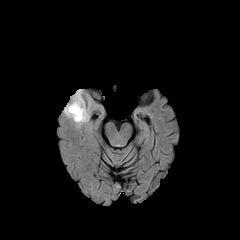
FLAIR magnetic resonance.
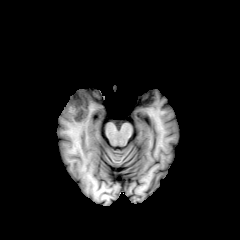
T1-weighted magnetic resonance of the same slice.
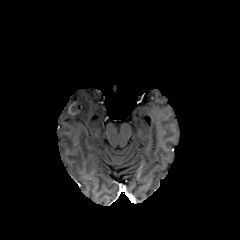
Post-contrast T1-weighted MR image.
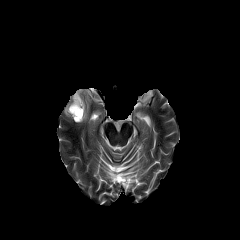
T2-weighted MRI.
<segmentation>
  <necrotic_tumor_core><bbox>72, 102, 80, 111</bbox></necrotic_tumor_core>
  <enhancing_tumor><bbox>68, 100, 80, 116</bbox></enhancing_tumor>
  <peritumoral_edema><bbox>63, 89, 91, 125</bbox></peritumoral_edema>
</segmentation>